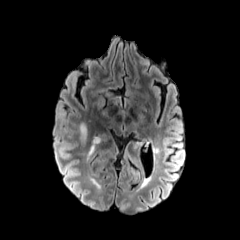
FLAIR MRI.
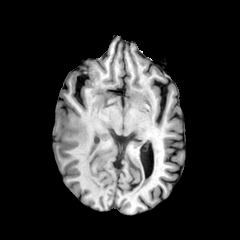
T1-weighted MRI of the same slice.
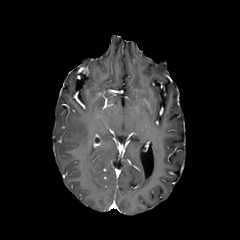
Post-contrast T1-weighted MR of the same slice.
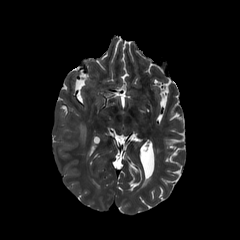
T2-weighted MRI.
Head.
Segmented structures:
* peritumoral edema: 77 123 86 141, 88 137 99 155